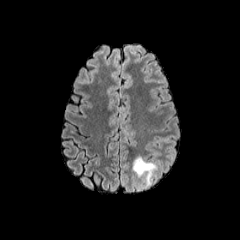
FLAIR MRI.
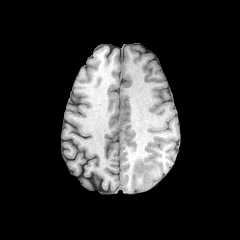
T1-weighted MR image.
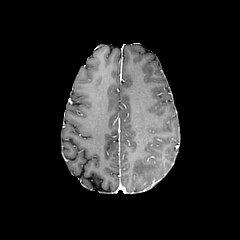
Same slice, post-contrast T1-weighted magnetic resonance.
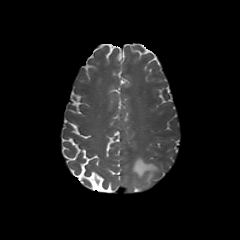
Same slice, T2-weighted MR image.
Head
{
  "peritumoral_edema": [
    "(x1=132, y1=156, x2=158, y2=188)"
  ]
}